FLAIR magnetic resonance.
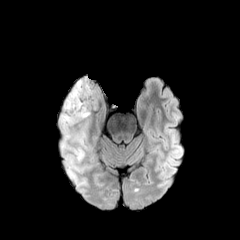
T1-weighted MR.
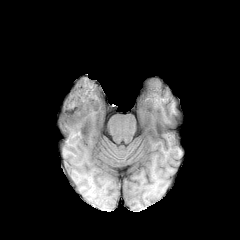
Post-contrast T1-weighted MR image.
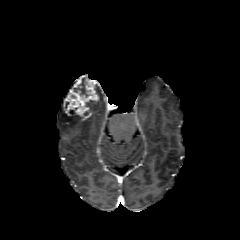
T2-weighted MR image.
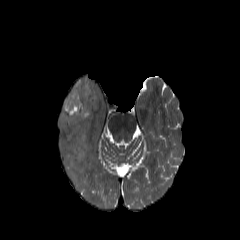
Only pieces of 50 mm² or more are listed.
<segmentation>
  <enhancing_tumor>64:79:98:119</enhancing_tumor>
  <necrotic_tumor_core>74:85:88:96</necrotic_tumor_core>
  <peritumoral_edema>61:112:80:126</peritumoral_edema>
</segmentation>